Axial plane | Slice 127/155 | Image width 240 mm | Brain
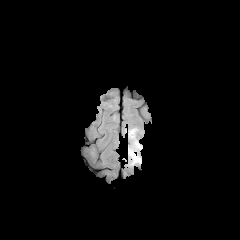
FLAIR MR.
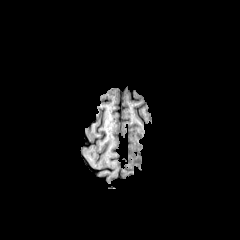
T1-weighted MRI.
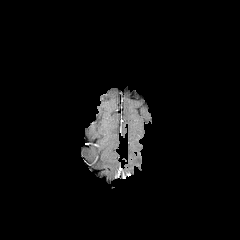
Post-contrast T1-weighted MR of the same slice.
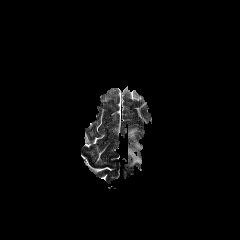
T2-weighted MR image of the same slice.
2 peritumoral edema regions appear at [x1=128, y1=128, x2=137, y2=138], [x1=128, y1=141, x2=142, y2=165].